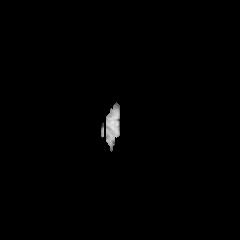
FLAIR magnetic resonance.
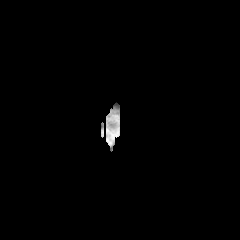
T1-weighted magnetic resonance.
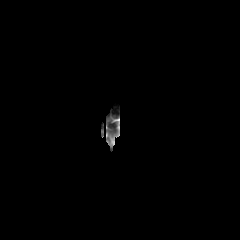
Post-contrast T1-weighted MR image of the same slice.
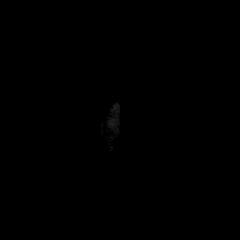
T2-weighted MR image.
Findings:
* peritumoral edema: 108:112:117:131